FLAIR MR image.
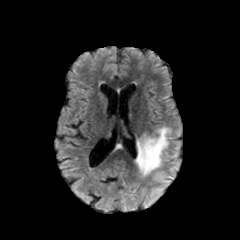
T1-weighted magnetic resonance.
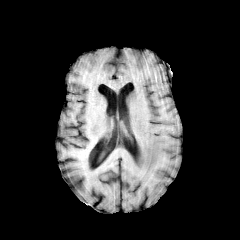
Post-contrast T1-weighted MR image.
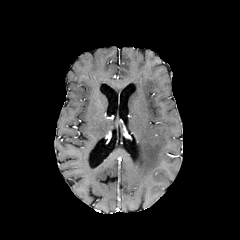
T2-weighted magnetic resonance.
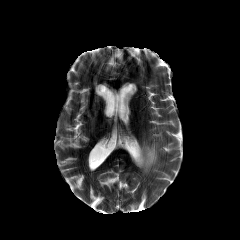
peritumoral edema: region(136, 127, 170, 175)